Slice 90/155; Image covers 240 mm x 240 mm; Axial plane
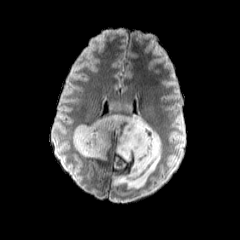
FLAIR MR.
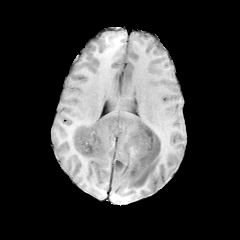
Same slice, T1-weighted magnetic resonance.
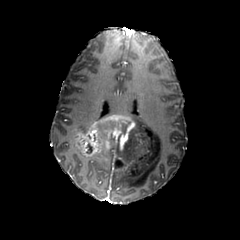
Same slice, post-contrast T1-weighted MRI.
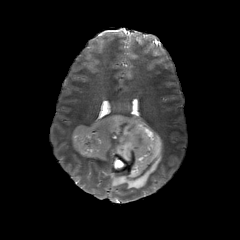
T2-weighted MR.
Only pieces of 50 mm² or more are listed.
The largest necrotic tumor core region lies within [x1=120, y1=120, x2=130, y2=135]. The 2 largest peritumoral edema regions are bounded by [x1=103, y1=99, x2=161, y2=188], [x1=76, y1=125, x2=89, y2=131]. The largest enhancing tumor region appears at [x1=73, y1=114, x2=137, y2=159].